Brain; Axial plane
FLAIR magnetic resonance.
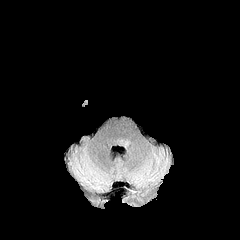
T1-weighted magnetic resonance.
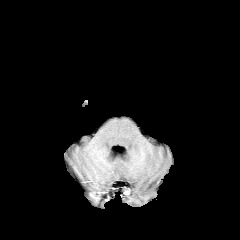
Post-contrast T1-weighted MR image.
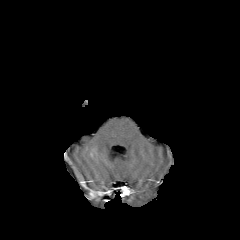
T2-weighted MRI.
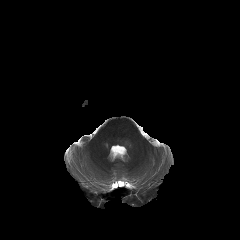
The peritumoral edema is at bbox=[118, 138, 129, 146].